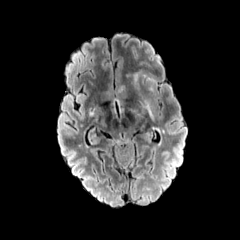
FLAIR MR.
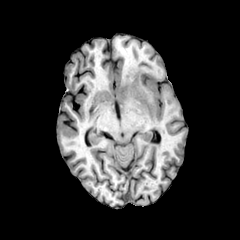
T1-weighted MRI.
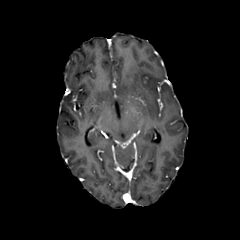
Post-contrast T1-weighted magnetic resonance of the same slice.
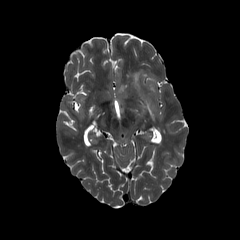
T2-weighted magnetic resonance.
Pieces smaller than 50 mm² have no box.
The 2 largest peritumoral edema regions are located at box=[140, 96, 153, 118]; box=[132, 70, 155, 85].